Axial slice, Slice 95/155
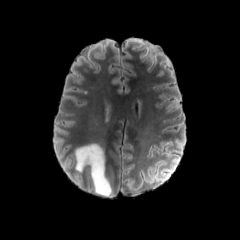
FLAIR MRI.
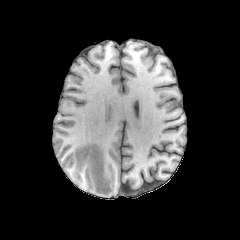
T1-weighted MR image.
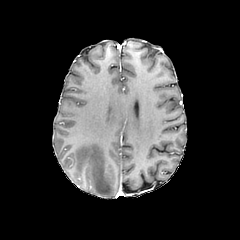
Same slice, post-contrast T1-weighted MRI.
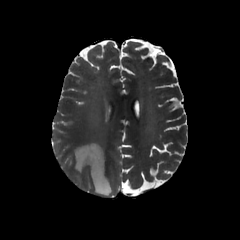
T2-weighted MRI.
peritumoral edema: box=[75, 144, 111, 196]